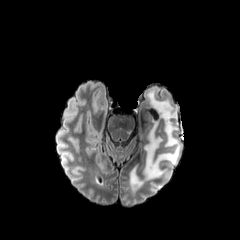
FLAIR MR.
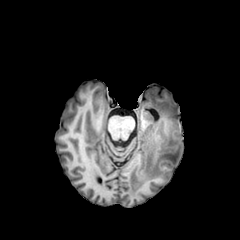
T1-weighted magnetic resonance.
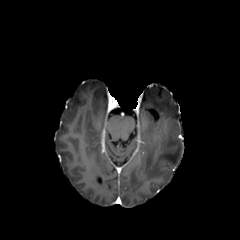
Post-contrast T1-weighted MR.
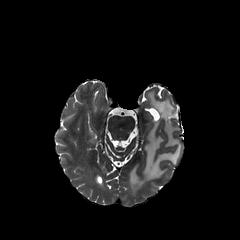
Same slice, T2-weighted magnetic resonance.
Image size 240x240 | Brain
peritumoral edema: bounding box 130, 90, 181, 189